FLAIR MRI.
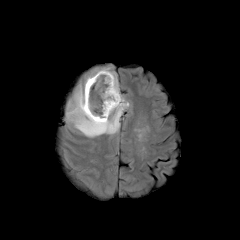
T1-weighted MR image.
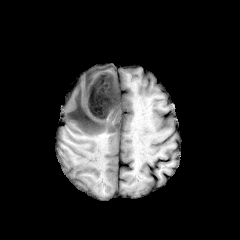
Post-contrast T1-weighted magnetic resonance.
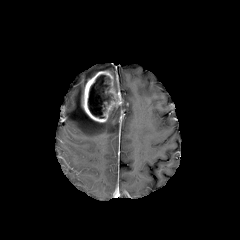
T2-weighted MRI.
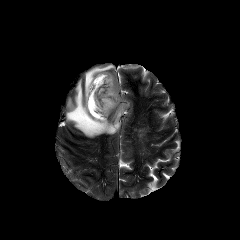
Axial view
Segmented structures:
- enhancing tumor: {"x1": 82, "y1": 71, "x2": 123, "y2": 122}
- peritumoral edema: {"x1": 64, "y1": 65, "x2": 129, "y2": 137}
- necrotic tumor core: {"x1": 88, "y1": 75, "x2": 105, "y2": 118}